Axial view | Brain
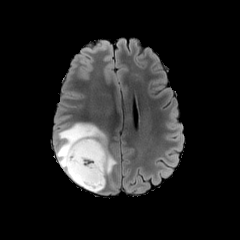
FLAIR MR.
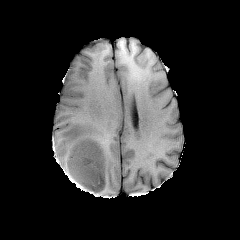
Same slice, T1-weighted magnetic resonance.
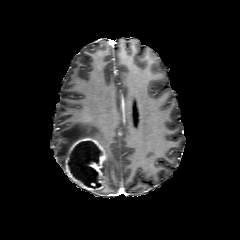
Post-contrast T1-weighted MR.
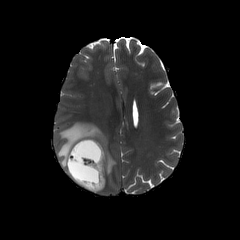
T2-weighted MR.
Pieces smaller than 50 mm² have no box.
The largest enhancing tumor region lies within 62,137,106,192. The necrotic tumor core is located at 67,141,101,188. The largest peritumoral edema region is bounded by 55,122,116,184.